FLAIR MR.
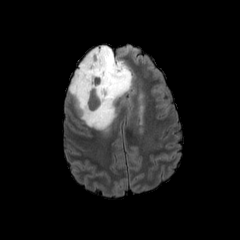
T1-weighted MRI.
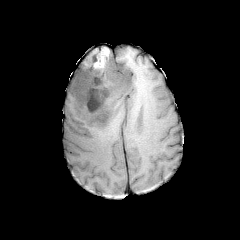
Post-contrast T1-weighted MR.
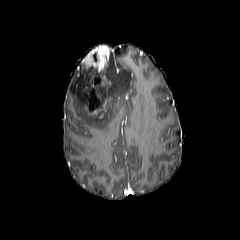
T2-weighted MR.
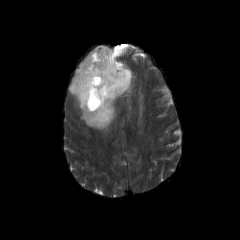
Image size 240x240, Brain, Axial plane
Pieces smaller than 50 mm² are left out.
The largest necrotic tumor core region is at (x1=89, y1=89, x2=99, y2=110). The largest peritumoral edema region is located at (x1=68, y1=48, x2=132, y2=131). The 4 largest enhancing tumor regions are located at (x1=90, y1=74, x2=97, y2=90), (x1=98, y1=74, x2=106, y2=87), (x1=85, y1=98, x2=110, y2=118), (x1=82, y1=45, x2=109, y2=72).